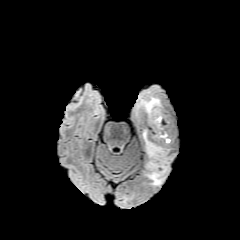
FLAIR MR image.
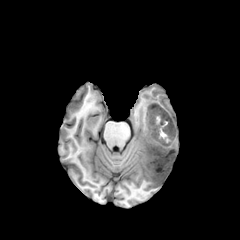
Same slice, T1-weighted MRI.
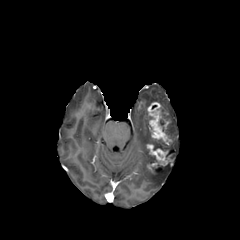
Post-contrast T1-weighted MRI of the same slice.
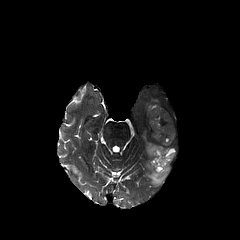
T2-weighted magnetic resonance.
240x240.
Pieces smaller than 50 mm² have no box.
necrotic tumor core: left=150, top=110, right=172, bottom=160; left=149, top=155, right=161, bottom=168 | enhancing tumor: left=146, top=144, right=172, bottom=169; left=147, top=102, right=168, bottom=144; left=146, top=162, right=157, bottom=171 | peritumoral edema: left=148, top=163, right=169, bottom=185; left=144, top=97, right=159, bottom=110